Head; Axial plane; Image covers 240 mm x 240 mm
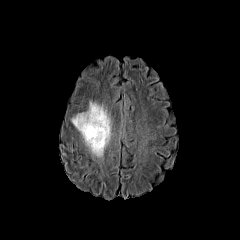
FLAIR MR.
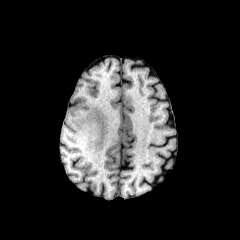
T1-weighted MR.
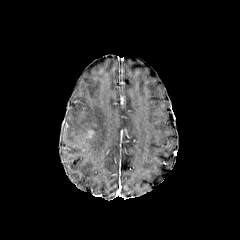
Post-contrast T1-weighted MR of the same slice.
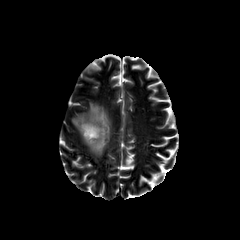
Same slice, T2-weighted MR image.
enhancing tumor — 86, 130, 94, 138
peritumoral edema — 72, 101, 111, 156